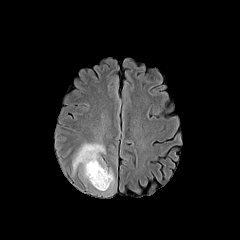
FLAIR magnetic resonance.
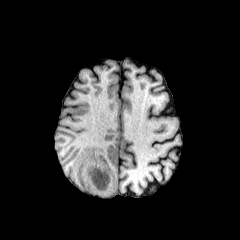
Same slice, T1-weighted MR.
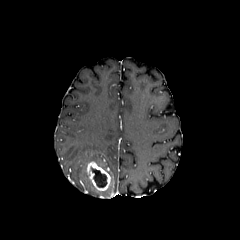
Post-contrast T1-weighted magnetic resonance.
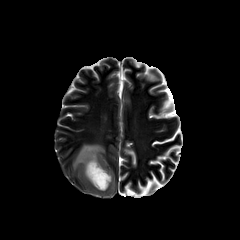
T2-weighted MR image of the same slice.
Head. Image size 240x240. Axial slice.
The necrotic tumor core is bounded by x1=91 y1=167 x2=107 y2=187. The enhancing tumor is bounded by x1=86 y1=161 x2=111 y2=190. The peritumoral edema lies within x1=72 y1=143 x2=114 y2=191.